Slice 71 of 155. Head.
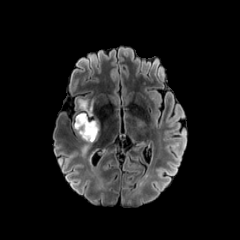
FLAIR magnetic resonance.
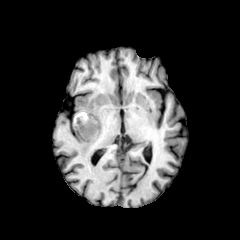
T1-weighted MRI.
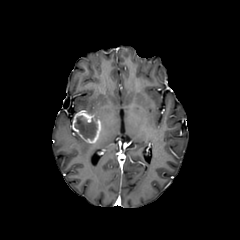
Post-contrast T1-weighted MR image of the same slice.
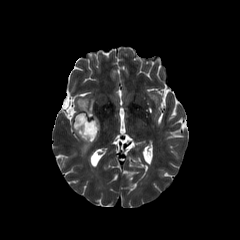
T2-weighted magnetic resonance.
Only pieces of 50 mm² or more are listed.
The 2 largest peritumoral edema regions appear at l=82, t=141, r=91, b=153; l=78, t=99, r=93, b=114. The necrotic tumor core is at l=74, t=116, r=96, b=139. The enhancing tumor is bounded by l=73, t=110, r=101, b=143.